Image width 240 mm, 1.00 mm slice spacing | Slice 104 of 155
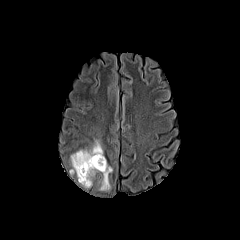
FLAIR MR.
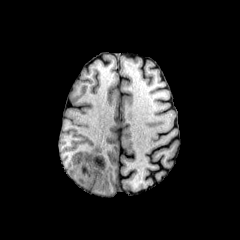
Same slice, T1-weighted MR.
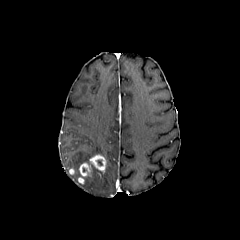
Same slice, post-contrast T1-weighted MR.
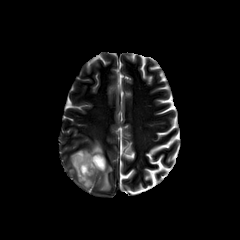
T2-weighted magnetic resonance.
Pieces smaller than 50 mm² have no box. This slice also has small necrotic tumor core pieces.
Segmented structures:
• enhancing tumor: region(78, 154, 106, 183)
• peritumoral edema: region(70, 140, 103, 177); region(100, 164, 112, 191); region(81, 166, 100, 188)